FLAIR magnetic resonance.
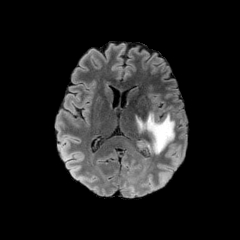
T1-weighted magnetic resonance.
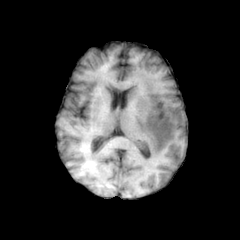
Post-contrast T1-weighted MR image.
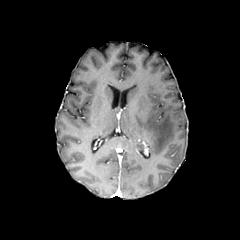
T2-weighted MR.
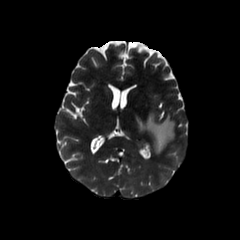
Axial slice. Brain.
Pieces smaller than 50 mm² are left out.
peritumoral edema: bounding box [x1=137, y1=112, x2=174, y2=153]